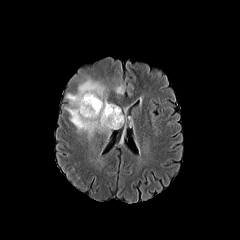
FLAIR MRI.
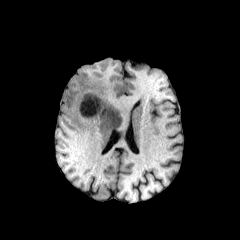
T1-weighted MR.
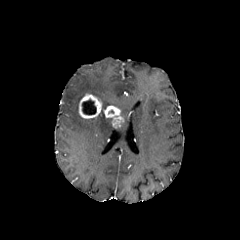
Post-contrast T1-weighted MR.
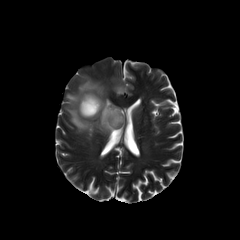
T2-weighted magnetic resonance.
Axial slice, Brain
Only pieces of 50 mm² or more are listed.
Annotated regions:
* peritumoral edema: (left=114, top=85, right=124, bottom=94), (left=65, top=70, right=119, bottom=137)
* enhancing tumor: (left=78, top=93, right=102, bottom=118), (left=103, top=105, right=123, bottom=127)
* necrotic tumor core: (left=82, top=100, right=96, bottom=114)